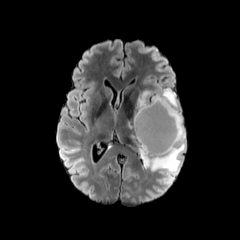
FLAIR MRI.
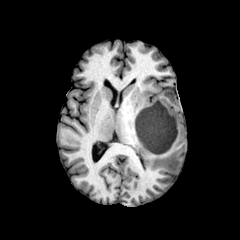
T1-weighted MR image.
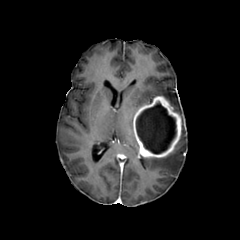
Same slice, post-contrast T1-weighted MR image.
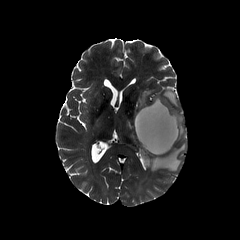
T2-weighted MRI.
240x240. Brain.
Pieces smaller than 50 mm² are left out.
Findings:
• enhancing tumor: (x1=133, y1=96, x2=181, y2=158)
• peritumoral edema: (x1=140, y1=87, x2=185, y2=174), (x1=135, y1=91, x2=151, y2=112)
• necrotic tumor core: (x1=136, y1=101, x2=176, y2=154)